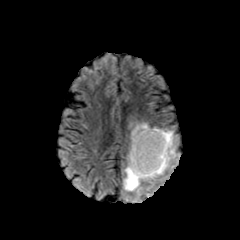
FLAIR MRI.
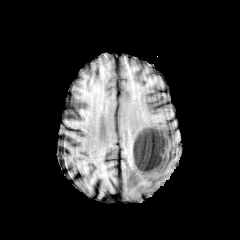
T1-weighted MR of the same slice.
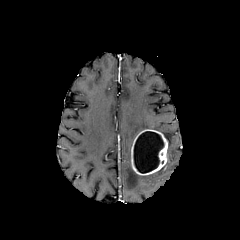
Post-contrast T1-weighted MR image.
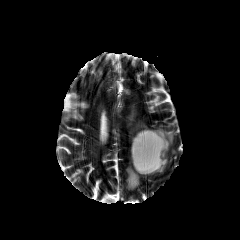
T2-weighted magnetic resonance.
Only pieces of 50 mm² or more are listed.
The enhancing tumor appears at x1=131, y1=129, x2=168, y2=175. The largest necrotic tumor core region is at x1=133, y1=131, x2=163, y2=173. The peritumoral edema is located at x1=124, y1=122, x2=175, y2=190.